Brain. Image width 240 mm. 240x240 px.
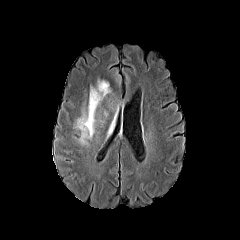
FLAIR MR.
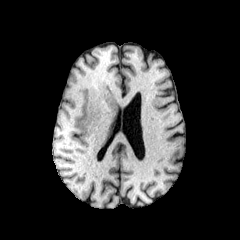
T1-weighted MRI.
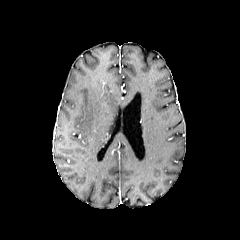
Same slice, post-contrast T1-weighted MR image.
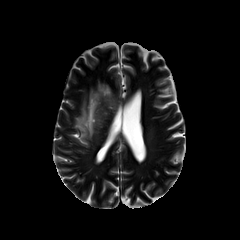
Same slice, T2-weighted MR image.
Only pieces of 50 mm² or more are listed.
The largest peritumoral edema region is located at (77, 81, 109, 139).